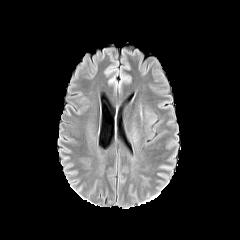
FLAIR magnetic resonance.
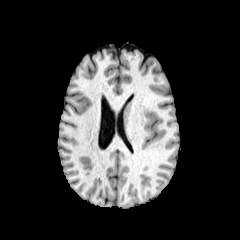
T1-weighted magnetic resonance.
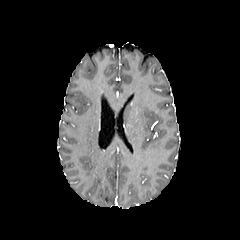
Same slice, post-contrast T1-weighted MR.
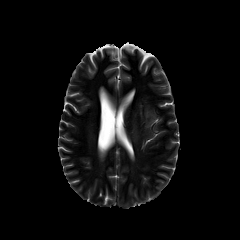
T2-weighted MR image of the same slice.
Axial slice
peritumoral edema — (146, 113, 155, 123)